Slice 69/155, Axial slice
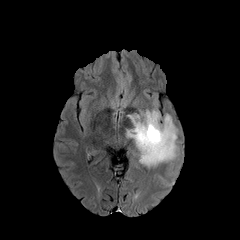
FLAIR MR image.
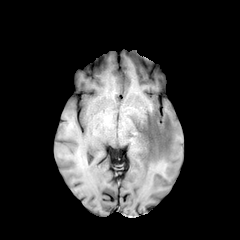
T1-weighted MRI of the same slice.
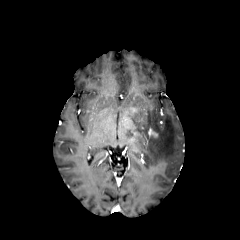
Post-contrast T1-weighted MR image.
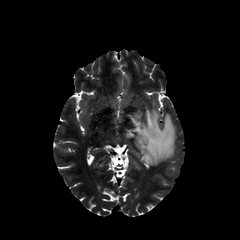
Same slice, T2-weighted MR.
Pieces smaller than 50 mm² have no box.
enhancing tumor: l=148, t=128, r=157, b=136
peritumoral edema: l=126, t=109, r=177, b=166